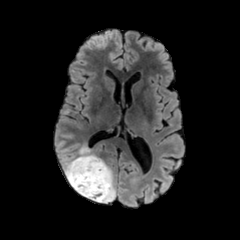
FLAIR magnetic resonance.
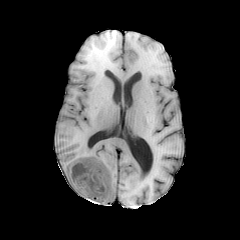
Same slice, T1-weighted MR image.
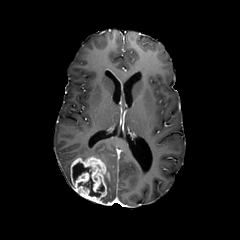
Post-contrast T1-weighted MRI.
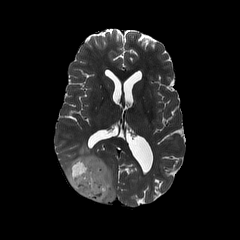
Same slice, T2-weighted MR.
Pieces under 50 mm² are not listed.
enhancing_tumor:
  - 69, 156, 109, 203
necrotic_tumor_core:
  - 73, 162, 104, 197
peritumoral_edema:
  - 102, 164, 115, 203
  - 63, 144, 95, 183